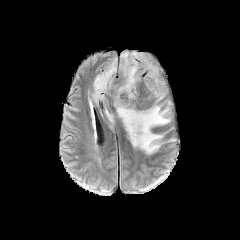
FLAIR MR.
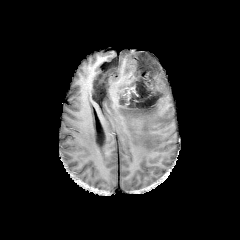
Same slice, T1-weighted MR image.
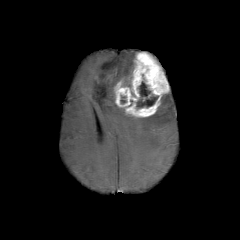
Post-contrast T1-weighted MR of the same slice.
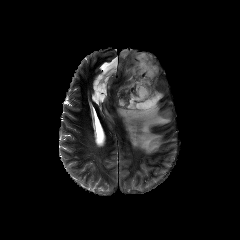
T2-weighted MR.
Brain; Image size 240x240
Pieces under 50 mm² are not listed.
<segmentation>
  <necrotic_tumor_core><box>136,81,158,107</box></necrotic_tumor_core>
  <peritumoral_edema><box>92,52,170,154</box></peritumoral_edema>
  <enhancing_tumor><box>114,52,169,117</box></enhancing_tumor>
</segmentation>